240x240 px; Slice index 85; Brain
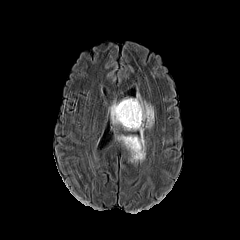
FLAIR magnetic resonance.
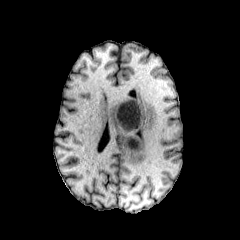
T1-weighted magnetic resonance of the same slice.
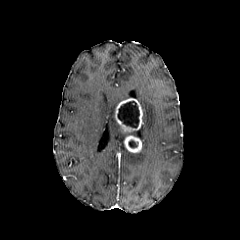
Post-contrast T1-weighted MRI of the same slice.
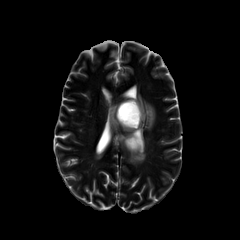
T2-weighted magnetic resonance of the same slice.
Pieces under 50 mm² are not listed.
enhancing_tumor:
  - (124, 135, 142, 152)
  - (114, 98, 143, 132)
necrotic_tumor_core:
  - (129, 140, 136, 147)
  - (117, 101, 139, 127)
peritumoral_edema:
  - (109, 101, 118, 125)
  - (129, 93, 154, 163)